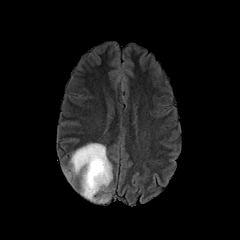
FLAIR MRI.
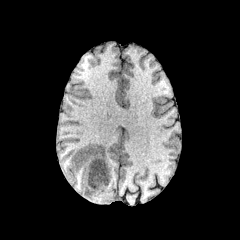
Same slice, T1-weighted MR image.
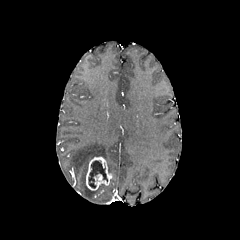
Post-contrast T1-weighted magnetic resonance of the same slice.
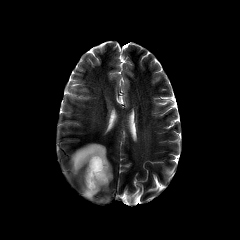
T2-weighted MR.
240x240. Axial plane.
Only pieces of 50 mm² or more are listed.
The largest peritumoral edema region is at bbox=[70, 143, 113, 202]. The enhancing tumor is at bbox=[85, 156, 111, 190]. The necrotic tumor core appears at bbox=[88, 161, 107, 188].